FLAIR MR.
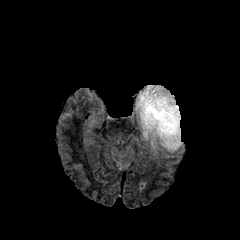
T1-weighted magnetic resonance.
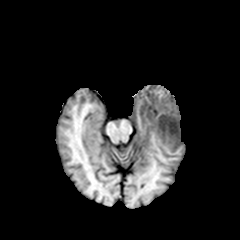
Post-contrast T1-weighted magnetic resonance.
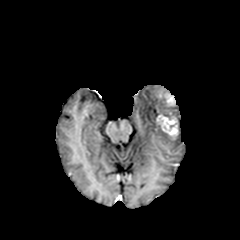
T2-weighted magnetic resonance.
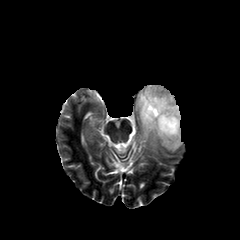
Axial view, Head
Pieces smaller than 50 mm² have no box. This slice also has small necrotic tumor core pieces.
peritumoral edema: bounding box 135:85:182:151
enhancing tumor: bounding box 156:114:178:139, 165:93:175:105